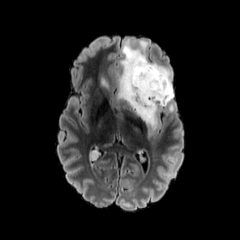
FLAIR MR image.
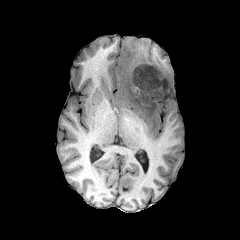
T1-weighted MRI.
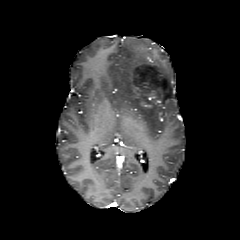
Same slice, post-contrast T1-weighted MR.
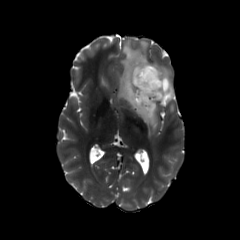
T2-weighted MRI of the same slice.
Head | Axial view
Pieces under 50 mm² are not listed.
Findings:
- peritumoral edema: bbox=[100, 77, 108, 87]; bbox=[117, 38, 173, 135]
- enhancing tumor: bbox=[130, 74, 141, 97]; bbox=[140, 101, 153, 108]; bbox=[144, 90, 162, 105]